FLAIR magnetic resonance.
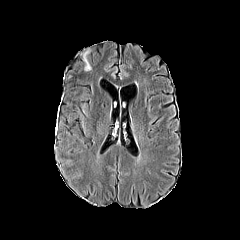
T1-weighted MRI.
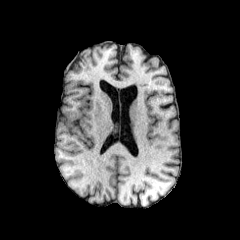
Post-contrast T1-weighted magnetic resonance.
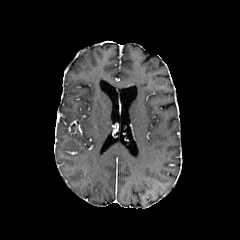
T2-weighted MRI.
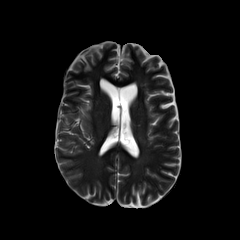
Axial plane
The peritumoral edema appears at x1=82, y1=48, x2=92, y2=71.